FLAIR MR.
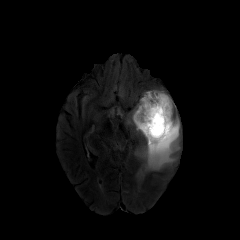
T1-weighted MR image.
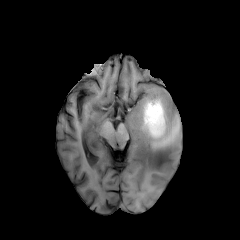
Post-contrast T1-weighted MR image.
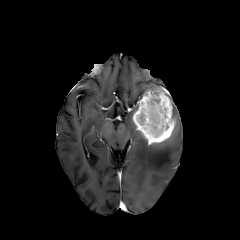
T2-weighted MRI.
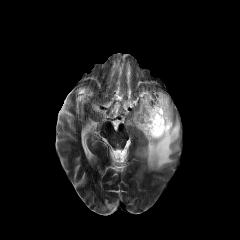
Axial slice. Image size 240x240.
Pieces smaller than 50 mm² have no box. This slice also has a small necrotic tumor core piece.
peritumoral edema: left=127, top=104, right=138, bottom=128; left=137, top=101, right=180, bottom=170
enhancing tumor: left=132, top=89, right=175, bottom=144